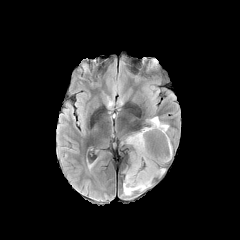
FLAIR MR image.
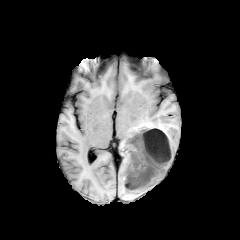
T1-weighted MR.
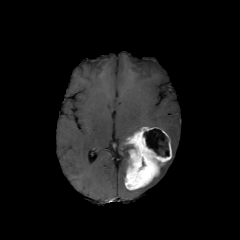
Post-contrast T1-weighted magnetic resonance.
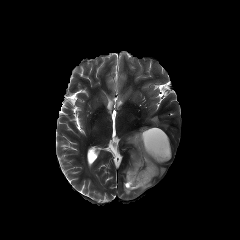
T2-weighted MRI.
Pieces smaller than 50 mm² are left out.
Findings:
- necrotic tumor core: rect(143, 128, 169, 156)
- peritumoral edema: rect(149, 117, 168, 131); rect(123, 182, 151, 195)
- enhancing tumor: rect(125, 127, 171, 190)